FLAIR MR image.
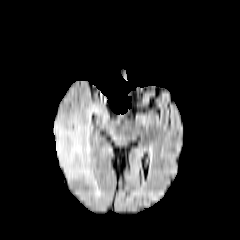
T1-weighted magnetic resonance.
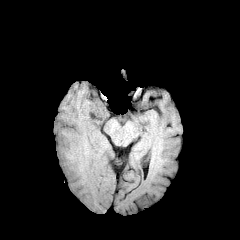
Post-contrast T1-weighted MR.
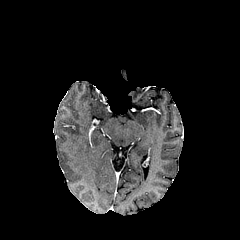
T2-weighted magnetic resonance.
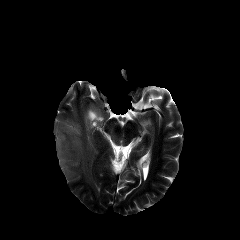
Head
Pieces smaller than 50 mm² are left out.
peritumoral edema = box(54, 104, 105, 198)